FLAIR MRI.
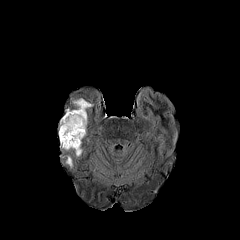
T1-weighted MRI.
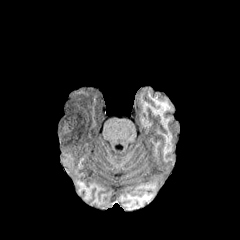
Post-contrast T1-weighted MR.
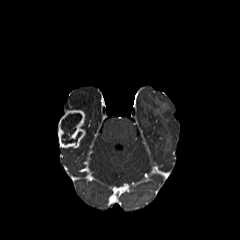
T2-weighted MRI.
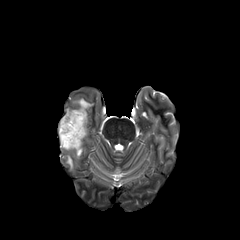
Image size 240x240. Axial view.
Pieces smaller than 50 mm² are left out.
peritumoral_edema:
  - x1=66 y1=155 x2=72 y2=167
  - x1=72 y1=98 x2=92 y2=129
  - x1=65 y1=141 x2=82 y2=156
enhancing_tumor:
  - x1=58 y1=110 x2=85 y2=148
necrotic_tumor_core:
  - x1=61 y1=113 x2=81 y2=144